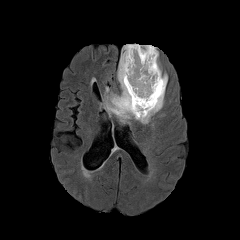
FLAIR magnetic resonance.
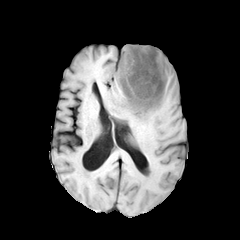
T1-weighted magnetic resonance.
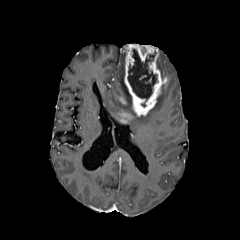
Post-contrast T1-weighted MR image.
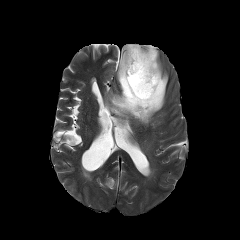
Same slice, T2-weighted MR.
Image size 240x240
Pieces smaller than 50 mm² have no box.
necrotic tumor core: (left=128, top=49, right=156, bottom=100) | peritumoral edema: (left=157, top=57, right=167, bottom=78), (left=105, top=46, right=166, bottom=124) | enhancing tumor: (left=118, top=44, right=167, bottom=116), (left=118, top=111, right=132, bottom=123)